FLAIR MR image.
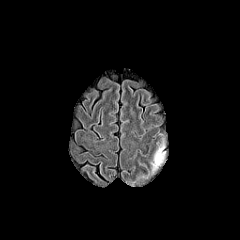
T1-weighted magnetic resonance.
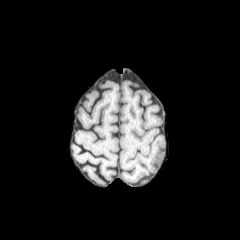
Post-contrast T1-weighted MR.
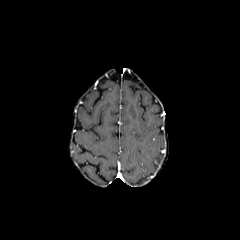
T2-weighted MRI.
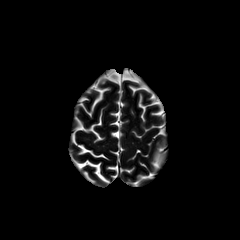
{
  "peritumoral_edema": [
    "151 144 164 171"
  ]
}